Image width 240 mm, Axial view
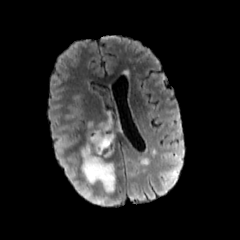
FLAIR MR.
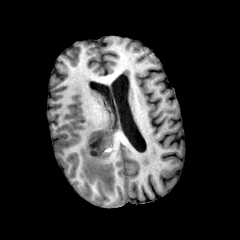
T1-weighted MR image.
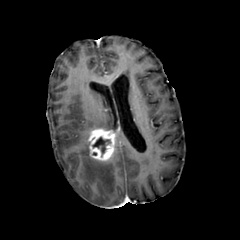
Post-contrast T1-weighted magnetic resonance of the same slice.
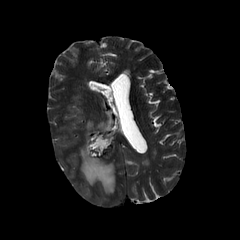
T2-weighted MR image.
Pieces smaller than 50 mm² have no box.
The 2 largest peritumoral edema regions are located at rect(97, 114, 111, 129); rect(81, 142, 115, 193). The largest necrotic tumor core region is located at rect(93, 137, 110, 154). The enhancing tumor lies within rect(88, 128, 115, 161).